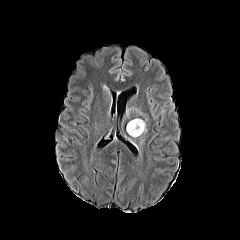
FLAIR MRI.
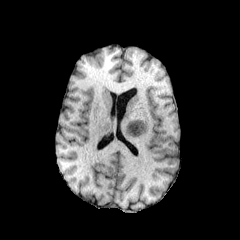
T1-weighted MRI.
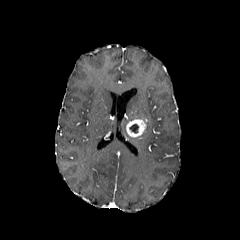
Same slice, post-contrast T1-weighted MR.
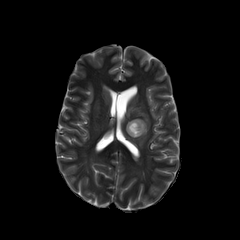
T2-weighted MR of the same slice.
Head.
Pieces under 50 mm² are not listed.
peritumoral edema — x1=127, y1=108, x2=144, y2=115
necrotic tumor core — x1=129, y1=124, x2=138, y2=133
enhancing tumor — x1=126, y1=119, x2=146, y2=137